Axial plane, Slice 124/155
FLAIR MRI.
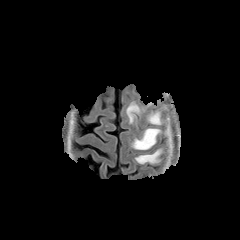
T1-weighted MRI.
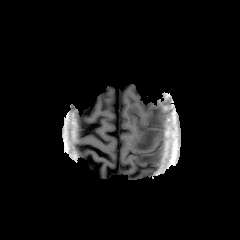
Post-contrast T1-weighted MR image.
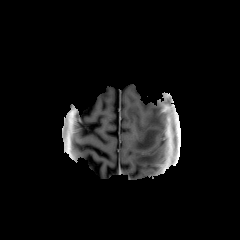
T2-weighted MR image.
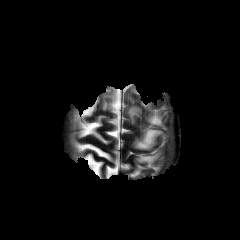
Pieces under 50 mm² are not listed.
peritumoral edema at [x1=126, y1=103, x2=140, y2=123], [x1=132, y1=128, x2=161, y2=149], [x1=147, y1=111, x2=161, y2=125], [x1=135, y1=149, x2=161, y2=163]